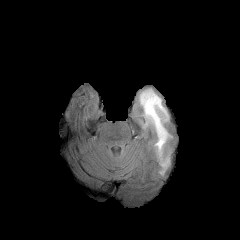
FLAIR MR image.
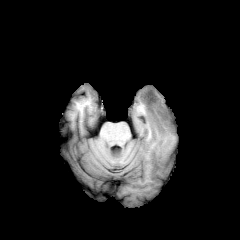
T1-weighted MRI.
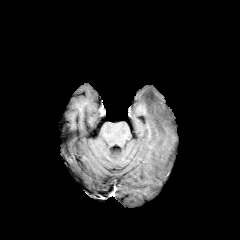
Post-contrast T1-weighted MR of the same slice.
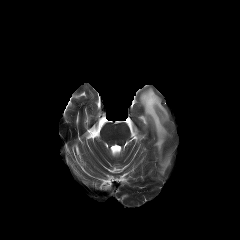
T2-weighted MR.
Image size 240x240. Axial plane. Head.
Findings:
- peritumoral edema: <bbox>139, 88, 170, 174</bbox>